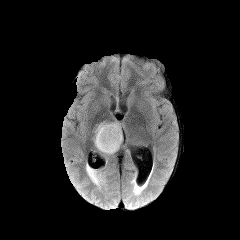
FLAIR MR.
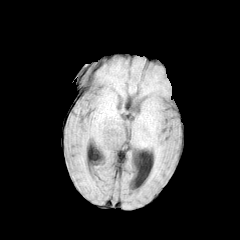
T1-weighted MR image.
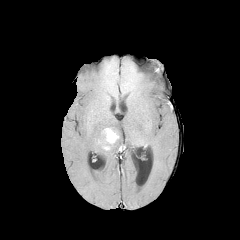
Post-contrast T1-weighted magnetic resonance.
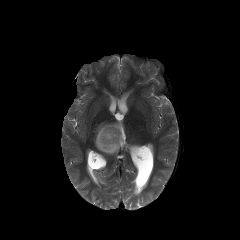
T2-weighted MR.
240x240.
* peritumoral edema: 94:122:122:154
* enhancing tumor: 102:128:119:150